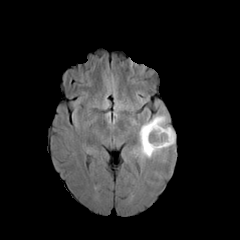
FLAIR magnetic resonance.
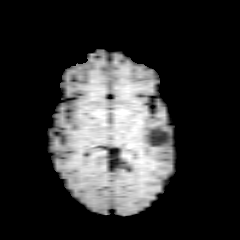
Same slice, T1-weighted MR.
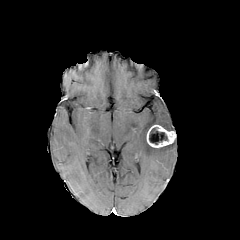
Post-contrast T1-weighted MR.
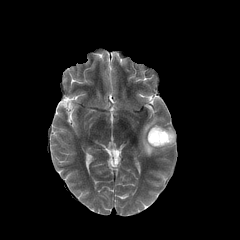
T2-weighted MR.
Brain
enhancing tumor: x1=146, y1=125, x2=176, y2=147 | necrotic tumor core: x1=149, y1=127, x2=167, y2=144 | peritumoral edema: x1=139, y1=115, x2=174, y2=157